Brain, 240x240 px
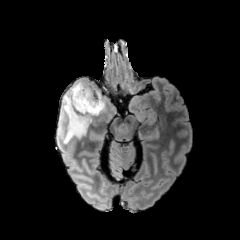
FLAIR MR image.
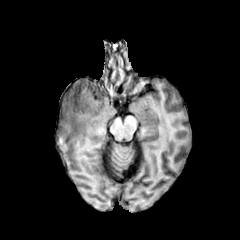
T1-weighted MR of the same slice.
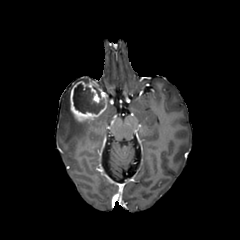
Post-contrast T1-weighted MR of the same slice.
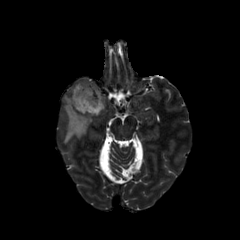
T2-weighted magnetic resonance.
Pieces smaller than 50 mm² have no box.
enhancing tumor: bounding box left=69, top=81, right=107, bottom=122
necrotic tumor core: bounding box left=73, top=83, right=104, bottom=114
peritumoral edema: bounding box left=61, top=87, right=91, bottom=142